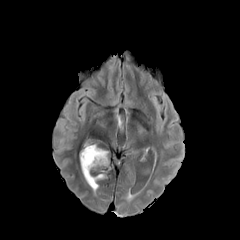
FLAIR MR.
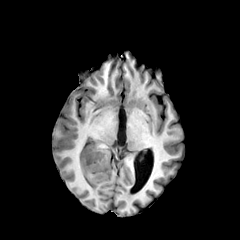
T1-weighted MR.
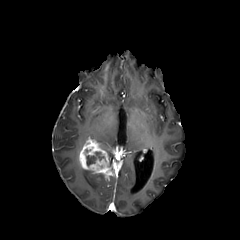
Same slice, post-contrast T1-weighted magnetic resonance.
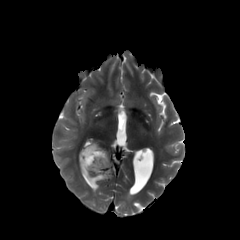
T2-weighted MRI.
Brain | Axial slice
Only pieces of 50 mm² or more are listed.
Annotated regions:
- necrotic tumor core: (left=86, top=155, right=96, bottom=165)
- enhancing tumor: (left=79, top=139, right=113, bottom=179)
- peritumoral edema: (left=81, top=167, right=104, bottom=191)